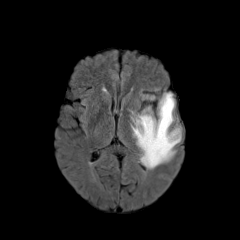
FLAIR MR image.
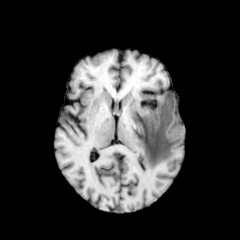
T1-weighted MR image of the same slice.
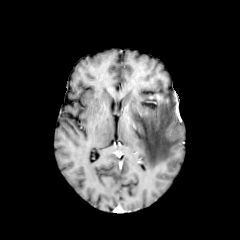
Post-contrast T1-weighted magnetic resonance of the same slice.
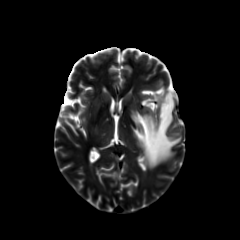
T2-weighted MR.
240x240
* enhancing tumor: bbox=[149, 92, 168, 104]
* peritumoral edema: bbox=[131, 93, 181, 166]